Axial plane; Brain; 240x240 px; Slice 95/155
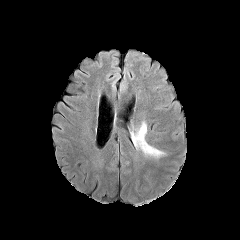
FLAIR MR.
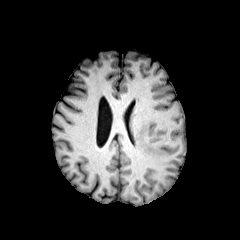
T1-weighted MR image.
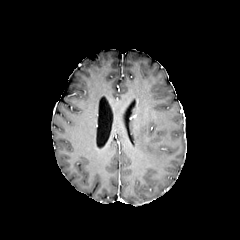
Post-contrast T1-weighted magnetic resonance.
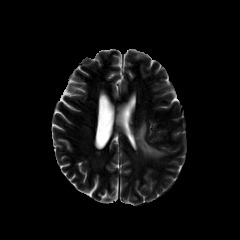
T2-weighted magnetic resonance.
peritumoral edema: 133 122 164 157